FLAIR MR image.
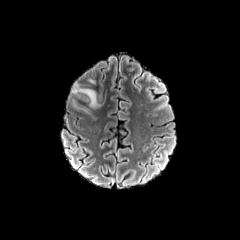
T1-weighted magnetic resonance.
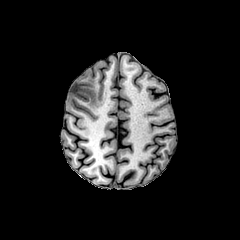
Post-contrast T1-weighted MR.
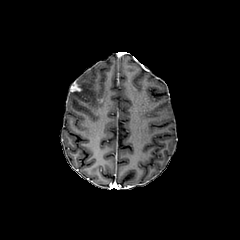
T2-weighted MRI.
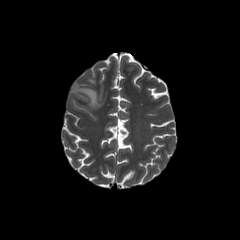
Brain
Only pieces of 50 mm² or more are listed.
enhancing tumor — 70,82,81,91
peritumoral edema — 71,88,100,107